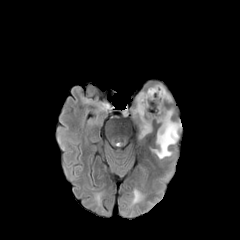
FLAIR MR image.
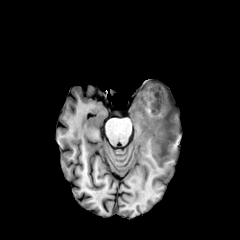
T1-weighted MR.
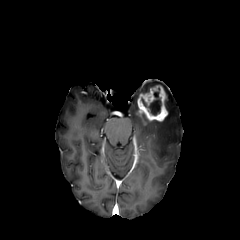
Post-contrast T1-weighted MR of the same slice.
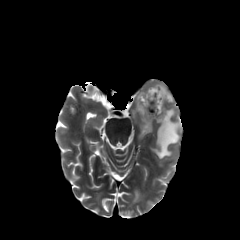
Same slice, T2-weighted MRI.
Head | 240x240 | Axial slice
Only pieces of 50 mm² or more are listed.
{
  "enhancing_tumor": [
    "[137, 85, 168, 121]"
  ],
  "necrotic_tumor_core": [
    "[141, 92, 161, 115]"
  ],
  "peritumoral_edema": [
    "[139, 115, 152, 138]",
    "[152, 108, 180, 158]"
  ]
}